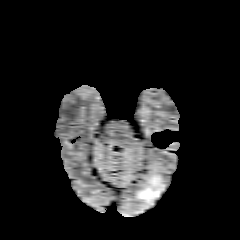
FLAIR MRI.
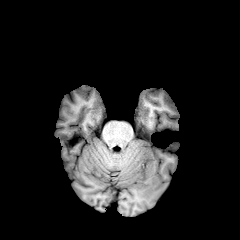
Same slice, T1-weighted MRI.
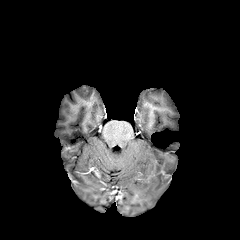
Same slice, post-contrast T1-weighted MRI.
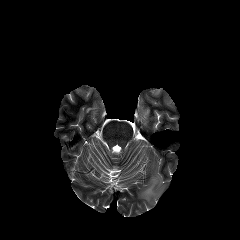
T2-weighted MR image.
Head, 240x240 px
The peritumoral edema is bounded by [137,166,165,207].